FLAIR MR.
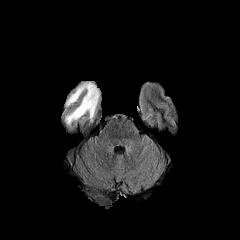
T1-weighted magnetic resonance.
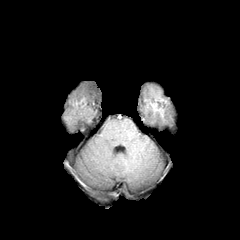
Post-contrast T1-weighted MRI.
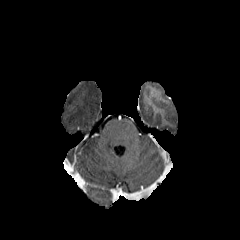
T2-weighted MRI.
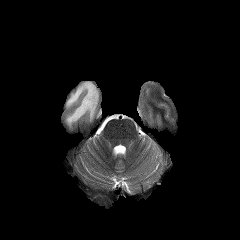
Image size 240x240
peritumoral edema: 65:82:99:126